Brain, Axial slice, 240x240 px
FLAIR magnetic resonance.
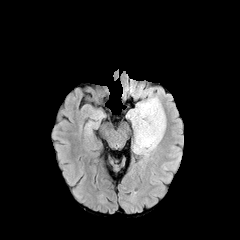
T1-weighted MRI.
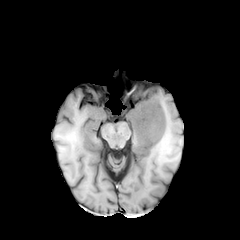
Post-contrast T1-weighted MR.
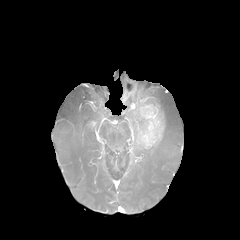
T2-weighted MR image.
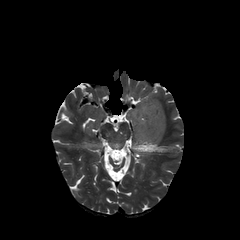
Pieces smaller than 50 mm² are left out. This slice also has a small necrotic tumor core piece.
enhancing tumor: {"x1": 133, "y1": 101, "x2": 164, "y2": 148}
peritumoral edema: {"x1": 143, "y1": 92, "x2": 166, "y2": 135}, {"x1": 127, "y1": 102, "x2": 160, "y2": 155}